Slice 116/155. Image width 240 mm, 1.00 mm slice spacing. 240x240. Brain.
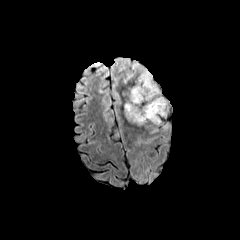
FLAIR magnetic resonance.
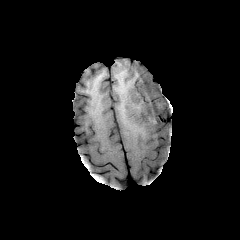
T1-weighted MR image.
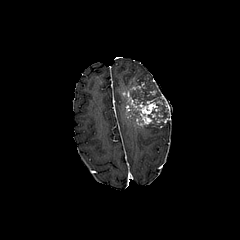
Post-contrast T1-weighted MR.
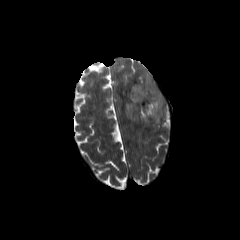
Same slice, T2-weighted MR.
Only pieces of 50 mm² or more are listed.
enhancing tumor: [122, 80, 170, 129]
necrotic tumor core: [131, 106, 143, 122], [131, 83, 168, 120]
peritumoral edema: [137, 70, 152, 83], [121, 72, 134, 84]